Axial plane.
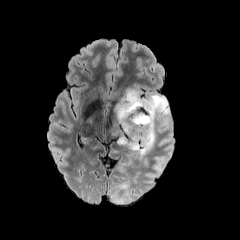
FLAIR MRI.
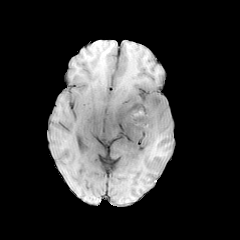
Same slice, T1-weighted MR.
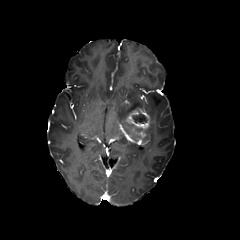
Post-contrast T1-weighted MRI.
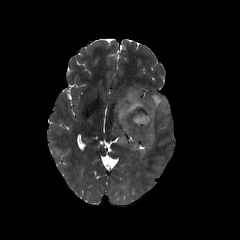
T2-weighted MR image of the same slice.
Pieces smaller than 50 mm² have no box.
{"peritumoral_edema": ["115 90 169 160"], "enhancing_tumor": ["124 109 152 141"], "necrotic_tumor_core": ["132 113 146 123"]}